Image covers 240 mm x 240 mm. Slice index 93. Axial slice. Image size 240x240. Head.
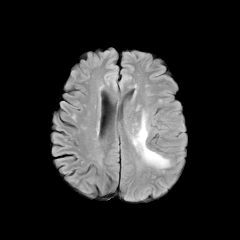
FLAIR MRI.
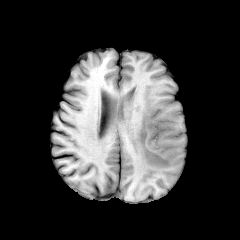
T1-weighted MR image.
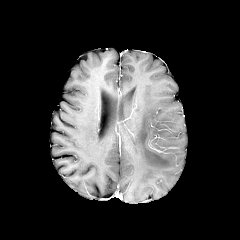
Same slice, post-contrast T1-weighted MRI.
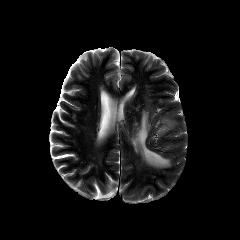
Same slice, T2-weighted MRI.
peritumoral edema — 131, 111, 170, 168